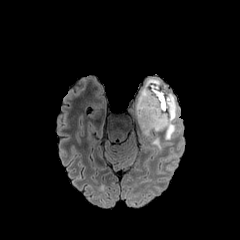
FLAIR magnetic resonance.
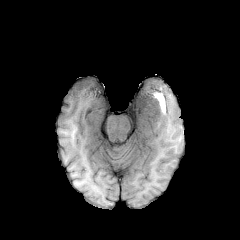
T1-weighted magnetic resonance of the same slice.
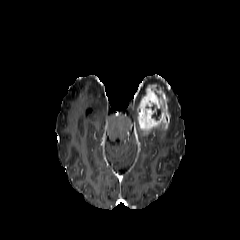
Same slice, post-contrast T1-weighted MR image.
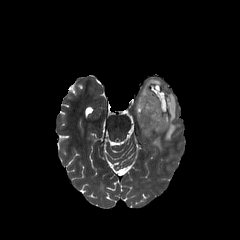
Same slice, T2-weighted MRI.
Brain; Axial slice; 240x240 px
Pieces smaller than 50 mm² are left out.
The largest necrotic tumor core region is located at region(152, 91, 164, 119). The enhancing tumor lies within region(136, 82, 170, 136). The 2 largest peritumoral edema regions are located at region(148, 93, 180, 150); region(140, 79, 161, 95).